Slice index 106; Brain; Image width 240 mm; 240x240 px
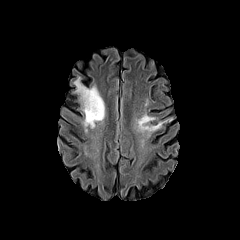
FLAIR magnetic resonance.
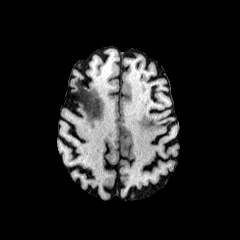
T1-weighted MRI.
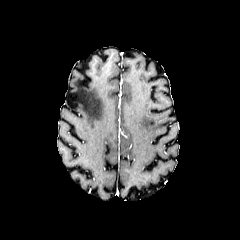
Post-contrast T1-weighted MR of the same slice.
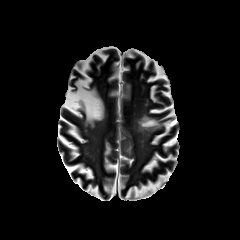
Same slice, T2-weighted MR.
peritumoral edema at <bbox>136, 113, 164, 133</bbox>, <bbox>73, 76, 104, 133</bbox>